Image size 240x240 | Slice index 37 | Axial slice
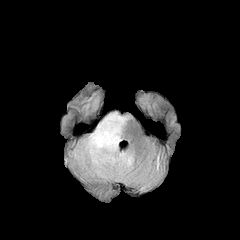
FLAIR magnetic resonance.
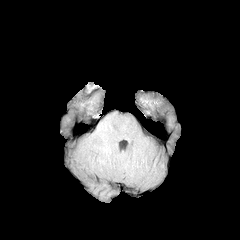
Same slice, T1-weighted MR.
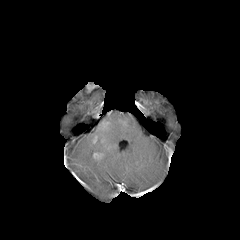
Post-contrast T1-weighted MR.
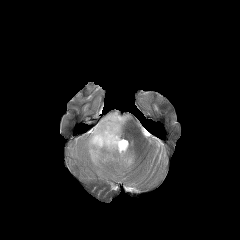
T2-weighted magnetic resonance.
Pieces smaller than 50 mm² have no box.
The largest enhancing tumor region appears at x1=93 y1=152 x2=102 y2=159. The largest peritumoral edema region lies within x1=72 y1=112 x2=134 y2=178.